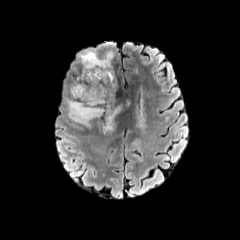
FLAIR MR image.
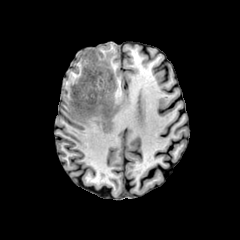
T1-weighted MR.
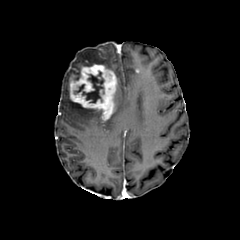
Post-contrast T1-weighted MR of the same slice.
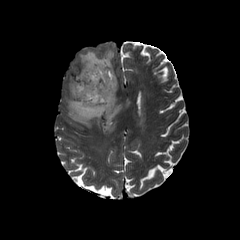
Same slice, T2-weighted MRI.
Axial slice
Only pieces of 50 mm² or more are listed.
The largest necrotic tumor core region is located at [74,71,103,102]. The largest enhancing tumor region is bounded by [69,64,117,119]. The 3 largest peritumoral edema regions are located at [66,99,101,127], [103,103,120,132], [79,49,114,70].